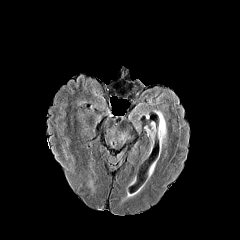
FLAIR MR image.
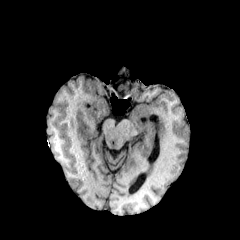
T1-weighted MRI.
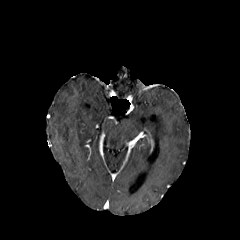
Post-contrast T1-weighted magnetic resonance.
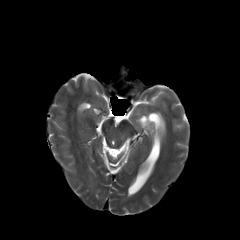
Same slice, T2-weighted MR.
Head
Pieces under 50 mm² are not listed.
peritumoral_edema:
  - 157:112:166:148